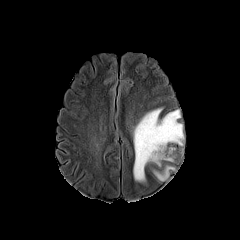
FLAIR MR.
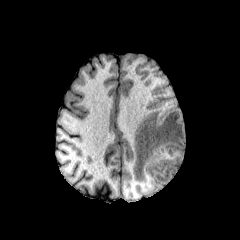
Same slice, T1-weighted MR image.
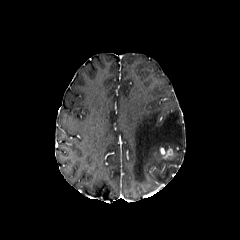
Post-contrast T1-weighted MRI.
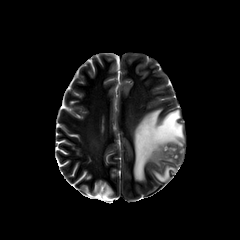
T2-weighted MR.
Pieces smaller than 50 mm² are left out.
peritumoral edema: rect(154, 166, 175, 181); rect(133, 108, 184, 182) | enhancing tumor: rect(160, 147, 176, 159)